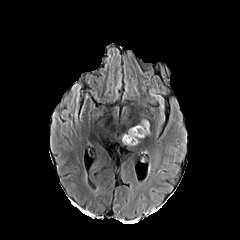
FLAIR MR image.
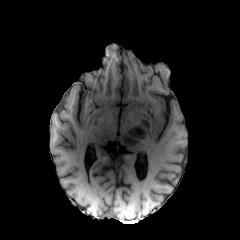
T1-weighted MRI of the same slice.
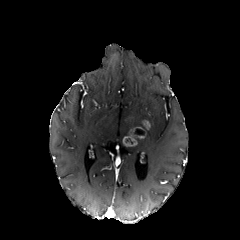
Same slice, post-contrast T1-weighted MR image.
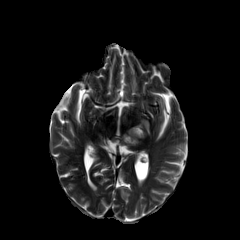
T2-weighted magnetic resonance of the same slice.
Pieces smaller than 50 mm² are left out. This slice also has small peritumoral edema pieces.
Findings:
- enhancing tumor: 121:127:144:146, 143:119:150:129
- necrotic tumor core: 134:128:145:135